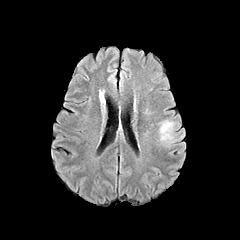
FLAIR MR.
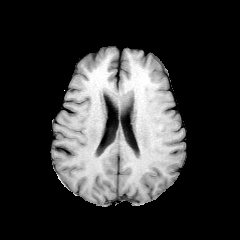
T1-weighted MR of the same slice.
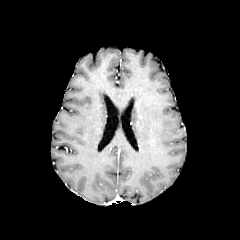
Same slice, post-contrast T1-weighted magnetic resonance.
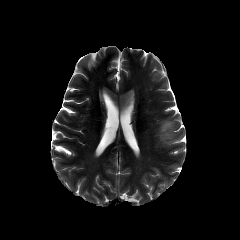
T2-weighted MR image.
Image size 240x240. Axial view.
- peritumoral edema: x1=160 y1=120 x2=174 y2=139